Image size 240x240; Brain; Slice 72 of 155
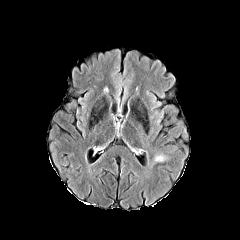
FLAIR MR image.
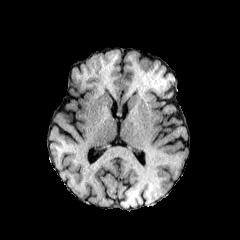
T1-weighted MR image of the same slice.
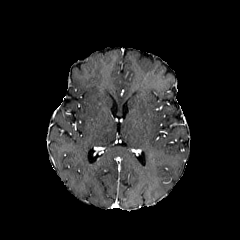
Same slice, post-contrast T1-weighted MR.
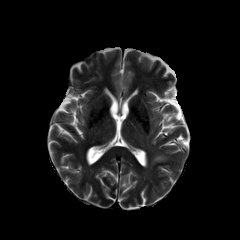
T2-weighted magnetic resonance.
<segmentation>
  <peritumoral_edema>(x1=150, y1=155, x2=166, y2=167)</peritumoral_edema>
</segmentation>